Brain, Slice 55 of 155
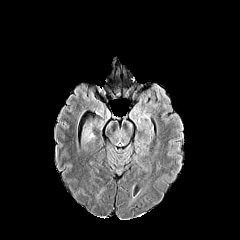
FLAIR magnetic resonance.
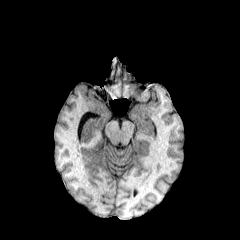
Same slice, T1-weighted MR image.
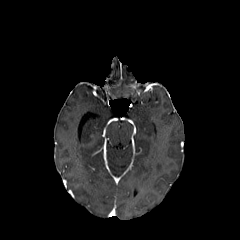
Same slice, post-contrast T1-weighted MR image.
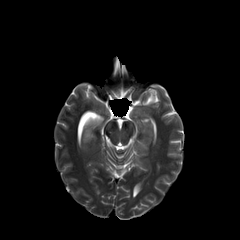
T2-weighted magnetic resonance.
peritumoral edema: [x1=83, y1=128, x2=94, y2=141]